FLAIR magnetic resonance.
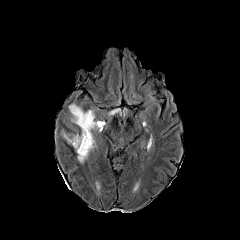
T1-weighted MR.
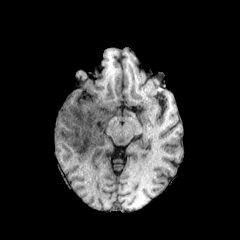
Post-contrast T1-weighted MR.
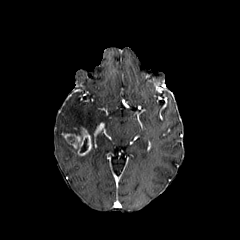
T2-weighted MR.
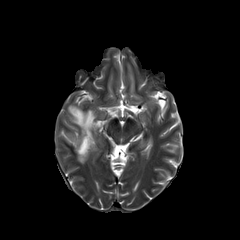
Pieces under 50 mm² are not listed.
peritumoral edema: x1=63 y1=104 x2=101 y2=189 | necrotic tumor core: x1=80 y1=138 x2=87 y2=152 | enhancing tumor: x1=64 y1=127 x2=91 y2=155